FLAIR magnetic resonance.
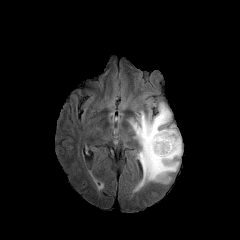
T1-weighted magnetic resonance.
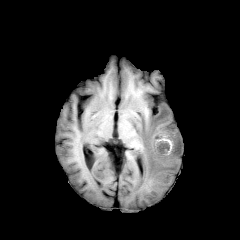
Post-contrast T1-weighted MRI.
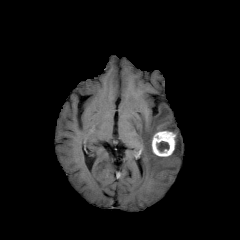
T2-weighted magnetic resonance.
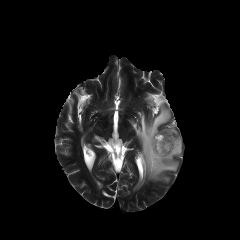
Image size 240x240. Brain.
{
  "enhancing_tumor": [
    "x1=152 y1=131 x2=176 y2=156"
  ],
  "necrotic_tumor_core": [
    "x1=157 y1=141 x2=169 y2=151"
  ],
  "peritumoral_edema": [
    "x1=131 y1=102 x2=182 y2=187"
  ]
}